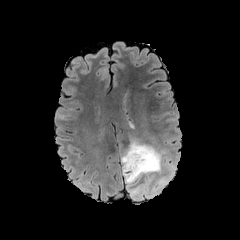
FLAIR magnetic resonance.
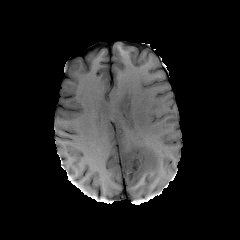
T1-weighted MR image.
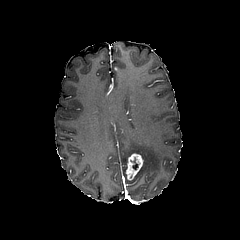
Post-contrast T1-weighted magnetic resonance.
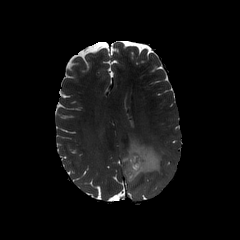
T2-weighted MRI.
Image size 240x240; Axial slice
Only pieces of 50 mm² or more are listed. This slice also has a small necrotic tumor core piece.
<segmentation>
  <peritumoral_edema>(x1=121, y1=138, x2=166, y2=196)</peritumoral_edema>
  <enhancing_tumor>(x1=125, y1=153, x2=143, y2=180)</enhancing_tumor>
</segmentation>